Axial plane | Image size 240x240 | Brain | Image covers 240 mm x 240 mm
FLAIR MR image.
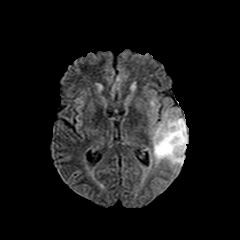
T1-weighted MRI.
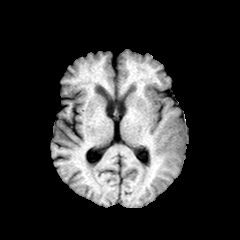
Post-contrast T1-weighted magnetic resonance.
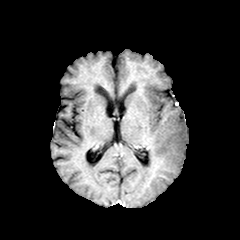
T2-weighted magnetic resonance.
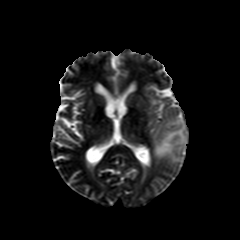
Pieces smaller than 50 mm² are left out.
The largest peritumoral edema region appears at (x1=150, y1=110, x2=188, y2=165).